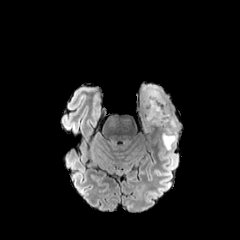
FLAIR MR.
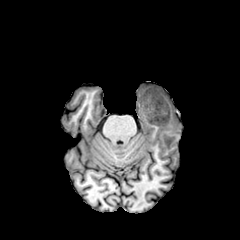
T1-weighted MR.
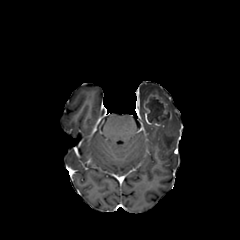
Post-contrast T1-weighted MRI of the same slice.
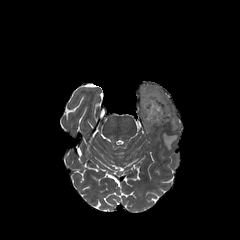
T2-weighted MR.
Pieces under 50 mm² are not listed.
peritumoral edema = rect(162, 133, 176, 149); rect(140, 84, 167, 107); rect(160, 105, 178, 131)
enhancing tumor = rect(142, 90, 171, 125)
necrotic tumor core = rect(146, 97, 168, 123)